FLAIR MR.
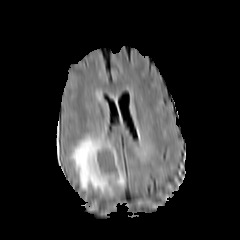
T1-weighted MR image.
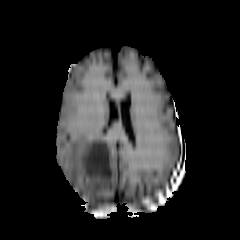
Post-contrast T1-weighted MR.
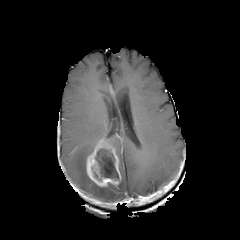
T2-weighted MR image.
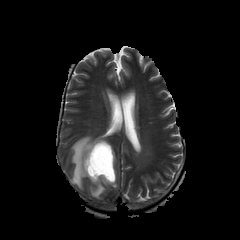
Axial view. Head.
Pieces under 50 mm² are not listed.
Findings:
* enhancing tumor: 86, 139, 121, 186
* peritumoral edema: 70, 134, 125, 196
* necrotic tumor core: 95, 148, 118, 178